FLAIR MR image.
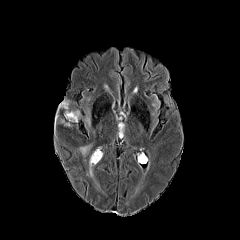
T1-weighted MR image.
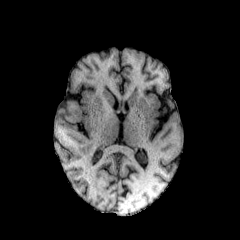
Post-contrast T1-weighted MR.
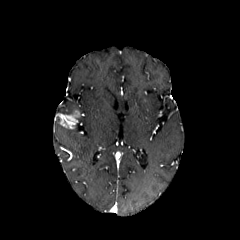
T2-weighted MRI.
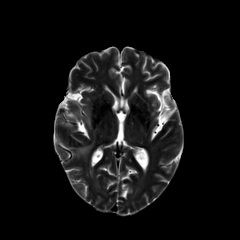
Axial plane; Brain
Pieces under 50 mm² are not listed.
<segmentation>
  <enhancing_tumor>x1=60, y1=110, x2=80, y2=128</enhancing_tumor>
  <peritumoral_edema>x1=80, y1=146, x2=90, y2=154</peritumoral_edema>
</segmentation>